Axial view | Brain
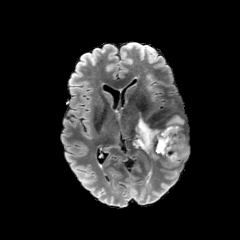
FLAIR MRI.
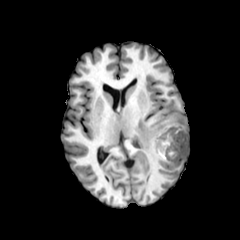
Same slice, T1-weighted MR image.
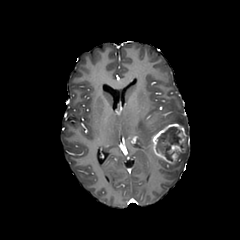
Post-contrast T1-weighted MR.
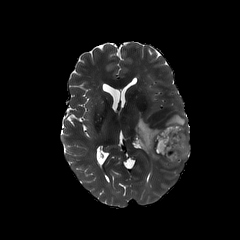
T2-weighted magnetic resonance of the same slice.
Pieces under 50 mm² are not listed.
peritumoral_edema:
  - left=165, top=115, right=185, bottom=127
  - left=171, top=144, right=189, bottom=165
  - left=132, top=117, right=161, bottom=159
necrotic_tumor_core:
  - left=156, top=126, right=183, bottom=160
enhancing_tumor:
  - left=152, top=123, right=188, bottom=164